FLAIR magnetic resonance.
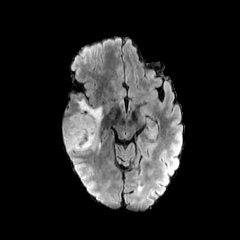
T1-weighted MR image.
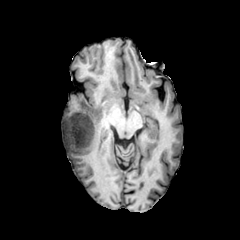
Post-contrast T1-weighted MR image.
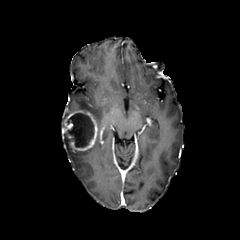
T2-weighted MR image.
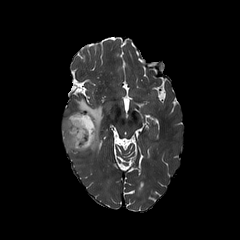
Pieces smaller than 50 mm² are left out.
necrotic tumor core at rect(67, 113, 94, 147)
peritumoral edema at rect(75, 99, 103, 151); rect(64, 139, 73, 154)
enhancing tumor at rect(62, 110, 98, 151)